Head. 240x240 px.
FLAIR magnetic resonance.
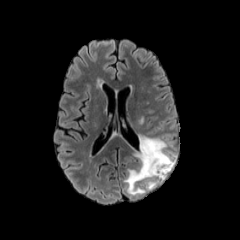
T1-weighted MR.
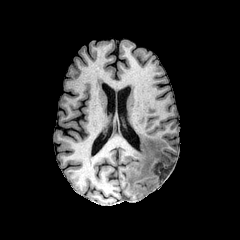
Post-contrast T1-weighted MRI.
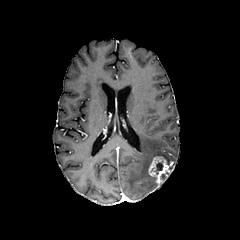
T2-weighted magnetic resonance.
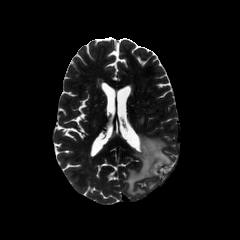
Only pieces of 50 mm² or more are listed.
The largest necrotic tumor core region is at (156,162,163,174). The enhancing tumor appears at (148,156,173,183). The largest peritumoral edema region is bounded by (124,135,176,195).